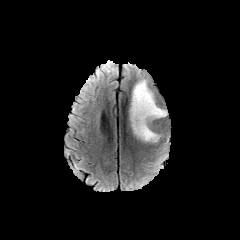
FLAIR MR image.
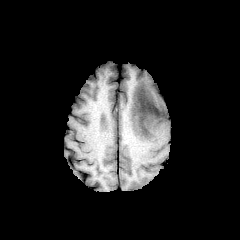
Same slice, T1-weighted MR.
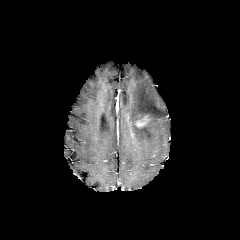
Post-contrast T1-weighted MR image.
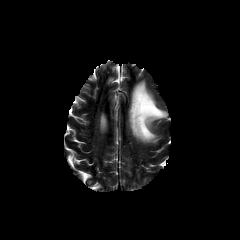
T2-weighted MR of the same slice.
Axial plane | 240x240
The peritumoral edema is bounded by (x1=129, y1=79, x2=167, y2=142). The enhancing tumor appears at (x1=137, y1=116, x2=146, y2=126).